Image width 240 mm | Head | Slice 95 of 155
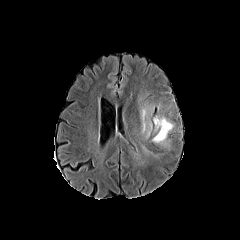
FLAIR MRI.
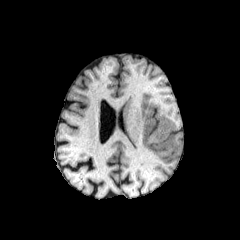
T1-weighted MR image of the same slice.
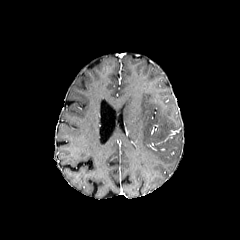
Same slice, post-contrast T1-weighted MRI.
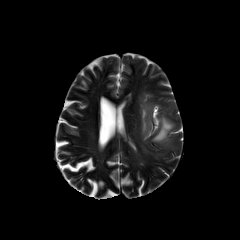
Same slice, T2-weighted MRI.
2 peritumoral edema regions appear at 153 117 172 142, 141 108 146 131.